FLAIR MR.
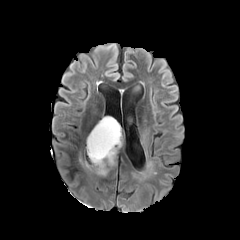
T1-weighted MR image.
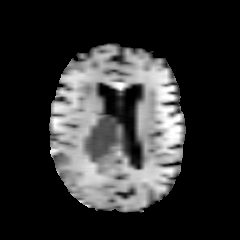
Post-contrast T1-weighted MR image.
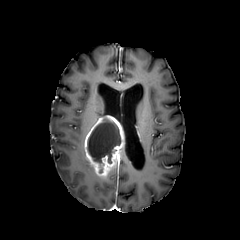
T2-weighted MRI.
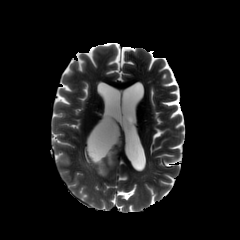
Image size 240x240
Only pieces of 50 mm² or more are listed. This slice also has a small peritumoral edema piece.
enhancing tumor: bbox=[84, 116, 124, 176] | necrotic tumor core: bbox=[87, 121, 120, 163]